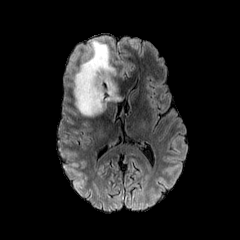
FLAIR MR.
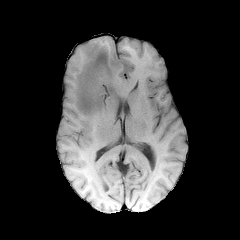
T1-weighted MR image.
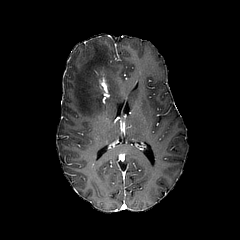
Post-contrast T1-weighted magnetic resonance.
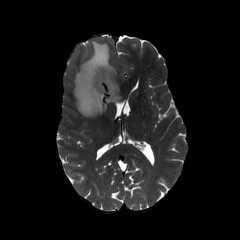
Same slice, T2-weighted MR.
Axial slice
peritumoral edema = 74, 40, 118, 116
enhancing tumor = 98, 72, 107, 91